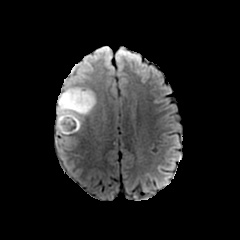
FLAIR MR.
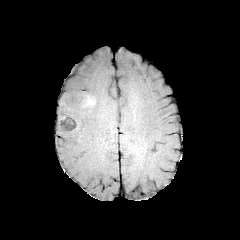
Same slice, T1-weighted MRI.
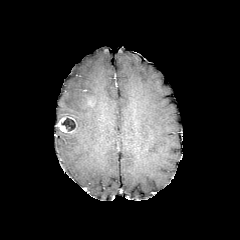
Post-contrast T1-weighted magnetic resonance.
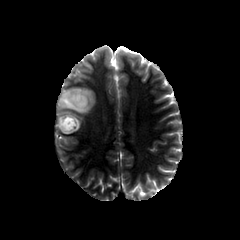
T2-weighted MR image.
2 peritumoral edema regions are bounded by [56,84,96,133], [56,127,70,138]. The enhancing tumor is bounded by [56,116,76,133]. The necrotic tumor core lies within [61,118,75,131].